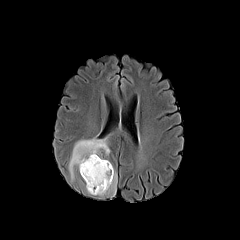
FLAIR MR image.
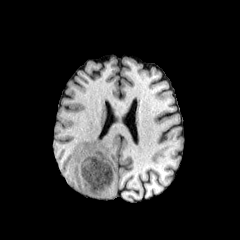
T1-weighted magnetic resonance.
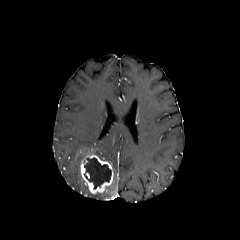
Same slice, post-contrast T1-weighted MR image.
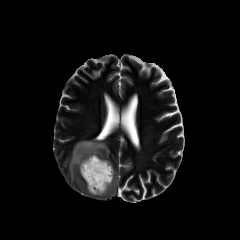
T2-weighted MR.
Brain
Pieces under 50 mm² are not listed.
enhancing tumor: bounding box left=80, top=153, right=114, bottom=193
peritumoral edema: bounding box left=94, top=174, right=116, bottom=195; left=69, top=138, right=111, bottom=183
necrotic tumor core: bounding box left=84, top=158, right=111, bottom=189